Axial slice. Brain.
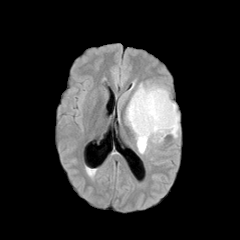
FLAIR MR.
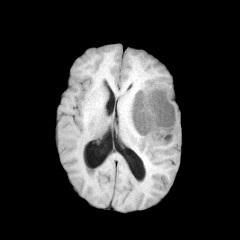
T1-weighted MRI.
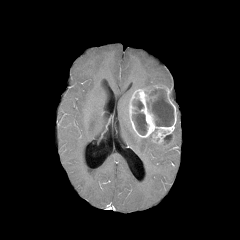
Post-contrast T1-weighted MR.
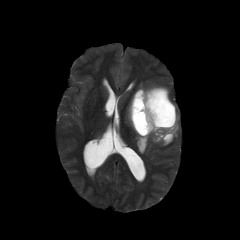
Same slice, T2-weighted magnetic resonance.
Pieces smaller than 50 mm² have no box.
peritumoral edema = [x1=172, y1=112, x2=179, y2=137], [x1=126, y1=104, x2=132, y2=129], [x1=137, y1=83, x2=165, y2=89], [x1=135, y1=133, x2=157, y2=154]
necrotic tumor core = [x1=132, y1=100, x2=146, y2=134], [x1=147, y1=89, x2=173, y2=126]
enhancing tumor = [x1=129, y1=85, x2=176, y2=144]